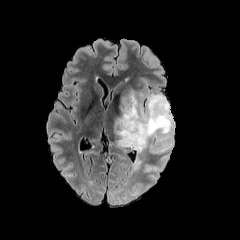
FLAIR MR image.
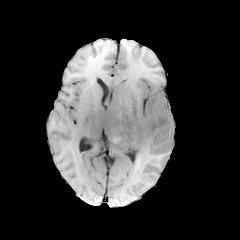
T1-weighted magnetic resonance.
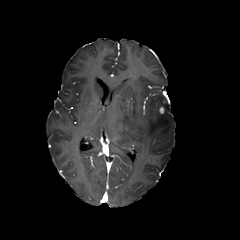
Post-contrast T1-weighted MRI.
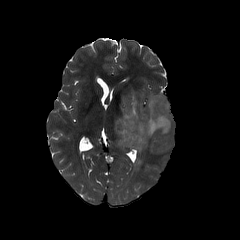
Same slice, T2-weighted MRI.
Brain; 240x240 px
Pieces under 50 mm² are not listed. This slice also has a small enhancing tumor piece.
{
  "peritumoral_edema": [
    "115:92:173:153",
    "133:158:141:170"
  ]
}